FLAIR MRI.
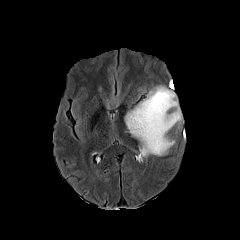
T1-weighted MR image.
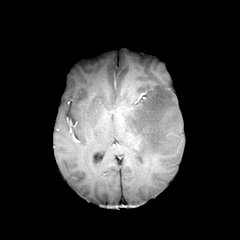
Post-contrast T1-weighted MR image.
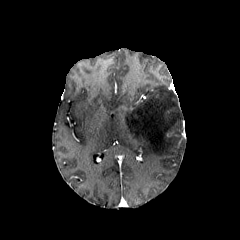
T2-weighted MR.
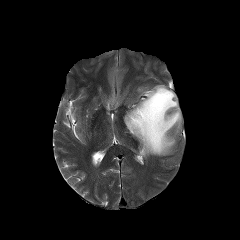
Head; 240x240; Axial view
Findings:
* peritumoral edema: rect(125, 85, 181, 157)